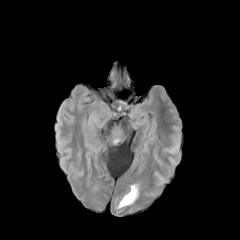
FLAIR MRI.
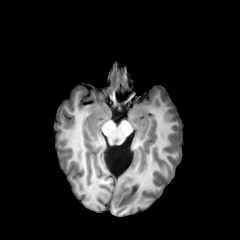
T1-weighted MRI.
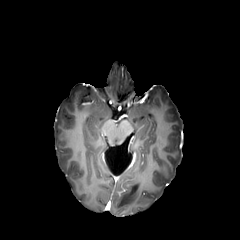
Post-contrast T1-weighted MRI.
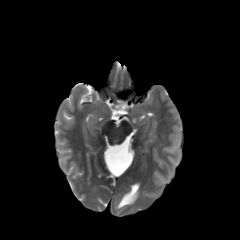
T2-weighted MRI.
Brain
peritumoral_edema:
  - region(116, 184, 138, 208)